Axial slice | Brain | 240x240
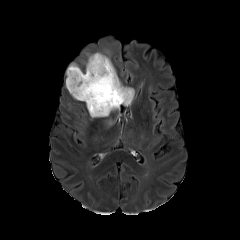
FLAIR magnetic resonance.
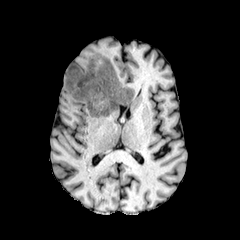
T1-weighted MRI.
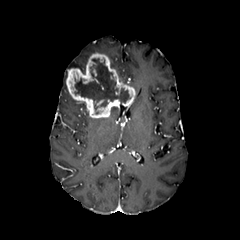
Post-contrast T1-weighted magnetic resonance.
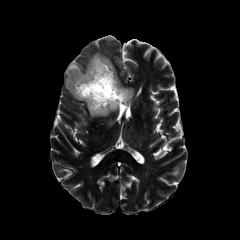
Same slice, T2-weighted magnetic resonance.
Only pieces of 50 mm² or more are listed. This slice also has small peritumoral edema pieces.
- enhancing tumor: {"x1": 66, "y1": 53, "x2": 135, "y2": 118}
- necrotic tumor core: {"x1": 75, "y1": 58, "x2": 130, "y2": 106}